FLAIR MR image.
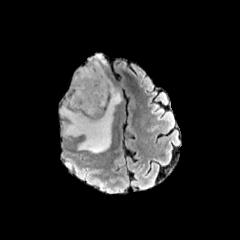
T1-weighted MR image.
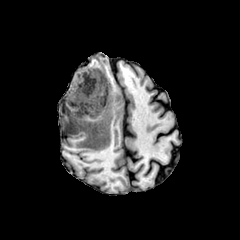
Post-contrast T1-weighted MRI.
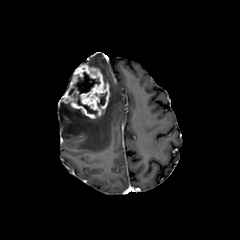
T2-weighted MR.
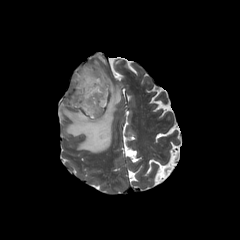
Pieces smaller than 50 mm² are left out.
Findings:
• necrotic tumor core: x1=100 y1=93 x2=106 y2=105, x1=68 y1=72 x2=99 y2=114
• enhancing tumor: x1=62 y1=65 x2=109 y2=118
• peritumoral edema: x1=90 y1=61 x2=108 y2=81, x1=97 y1=54 x2=106 y2=64, x1=61 y1=82 x2=121 y2=152